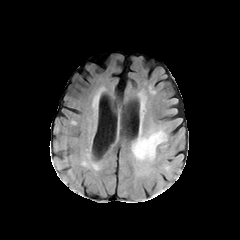
FLAIR MRI.
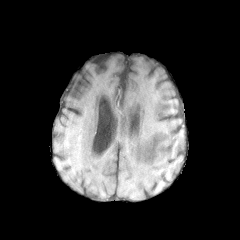
T1-weighted MRI of the same slice.
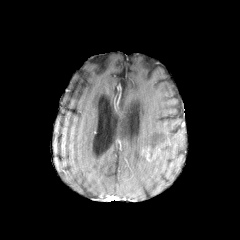
Post-contrast T1-weighted MRI.
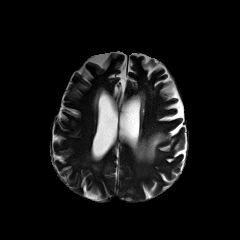
T2-weighted MR.
Axial slice
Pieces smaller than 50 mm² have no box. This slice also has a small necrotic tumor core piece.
enhancing tumor: (141,146,155,161) | peritumoral edema: (131,129,167,163)